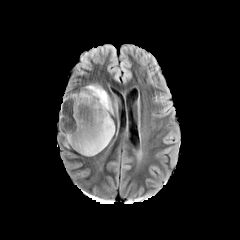
FLAIR magnetic resonance.
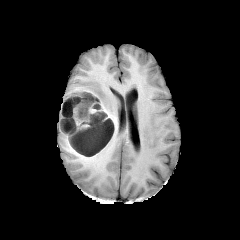
T1-weighted MRI.
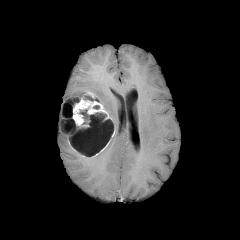
Post-contrast T1-weighted MRI.
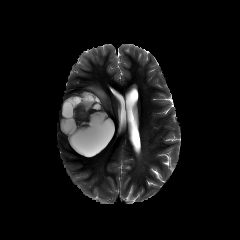
Same slice, T2-weighted MR.
Head; Axial view
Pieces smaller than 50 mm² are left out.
necrotic tumor core at 62,97,80,116; 60,119,76,134; 83,95,98,101; 69,112,113,156
peritumoral edema at 79,85,113,113
enhancing tumor at 58,92,110,135